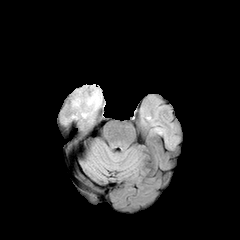
FLAIR MR image.
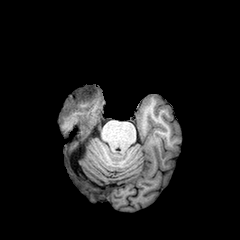
Same slice, T1-weighted MR image.
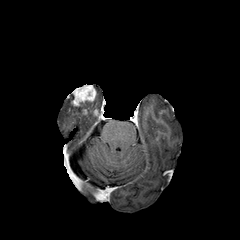
Same slice, post-contrast T1-weighted MRI.
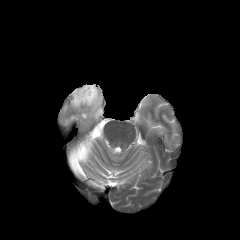
T2-weighted MRI of the same slice.
Head | 240x240
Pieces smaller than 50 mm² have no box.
The enhancing tumor lies within {"x1": 71, "y1": 84, "x2": 96, "y2": 106}. The largest peritumoral edema region lies within {"x1": 71, "y1": 85, "x2": 102, "y2": 118}.